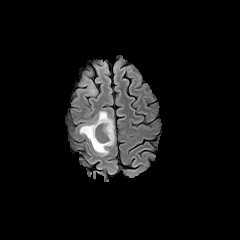
FLAIR MR image.
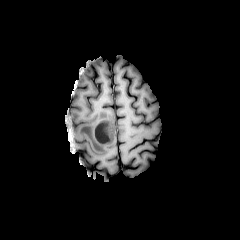
T1-weighted magnetic resonance of the same slice.
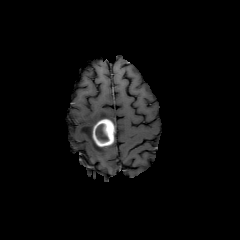
Post-contrast T1-weighted MR.
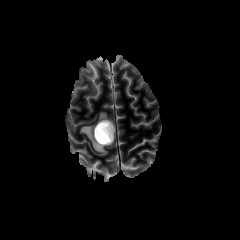
T2-weighted MR.
240x240 px
peritumoral edema at region(79, 111, 115, 156); region(80, 70, 97, 94)
necrotic tumor core at region(96, 124, 107, 141)
enhancing tumor at region(92, 119, 114, 146)